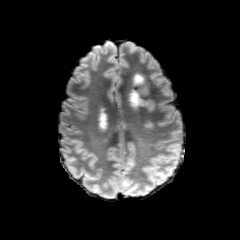
FLAIR MR.
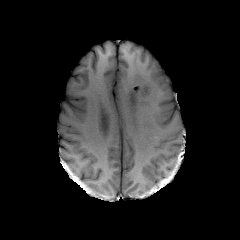
T1-weighted MR image of the same slice.
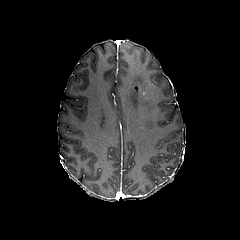
Same slice, post-contrast T1-weighted MR image.
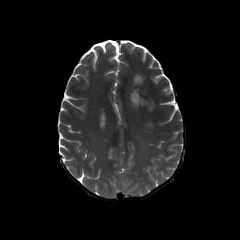
Same slice, T2-weighted MRI.
Head, Image size 240x240
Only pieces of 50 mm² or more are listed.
{
  "peritumoral_edema": [
    "box(134, 73, 144, 84)",
    "box(130, 91, 143, 107)"
  ]
}